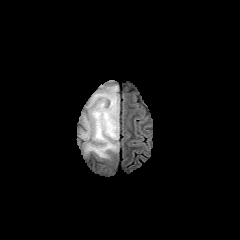
FLAIR MR.
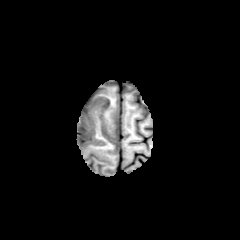
Same slice, T1-weighted MR image.
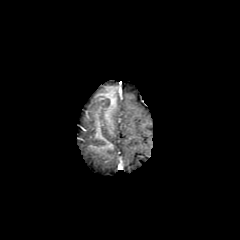
Same slice, post-contrast T1-weighted MRI.
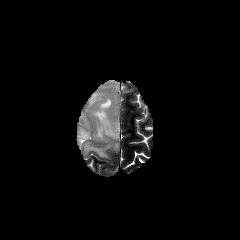
T2-weighted magnetic resonance of the same slice.
Brain | 240x240
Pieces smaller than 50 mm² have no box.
• peritumoral edema: 78:84:119:158